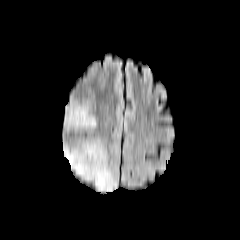
FLAIR magnetic resonance.
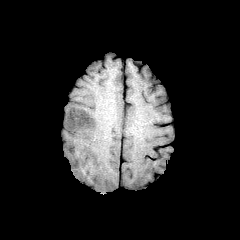
T1-weighted MR.
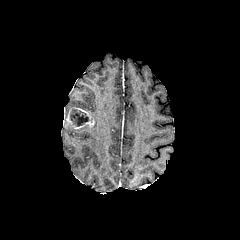
Post-contrast T1-weighted MR.
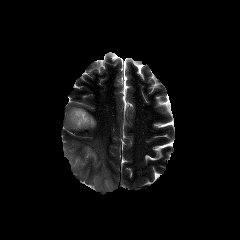
Same slice, T2-weighted magnetic resonance.
Axial slice.
{
  "necrotic_tumor_core": [
    "region(70, 109, 88, 126)"
  ],
  "enhancing_tumor": [
    "region(65, 107, 94, 129)"
  ],
  "peritumoral_edema": [
    "region(63, 140, 116, 191)",
    "region(63, 102, 96, 131)"
  ]
}